Slice 62/155, 240x240 px, Head
FLAIR MR.
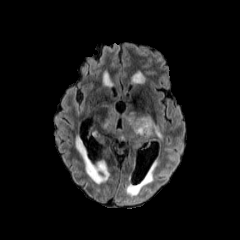
T1-weighted MRI.
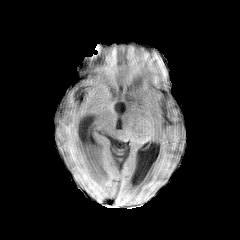
Post-contrast T1-weighted magnetic resonance.
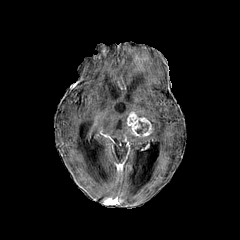
T2-weighted MR image.
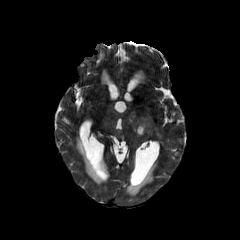
<segmentation>
  <peritumoral_edema>l=100, t=105, r=161, b=139</peritumoral_edema>
  <enhancing_tumor>l=126, t=113, r=152, b=137</enhancing_tumor>
  <necrotic_tumor_core>l=136, t=121, r=148, b=133</necrotic_tumor_core>
</segmentation>